FLAIR MR.
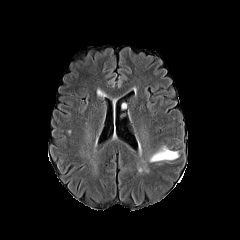
T1-weighted MRI.
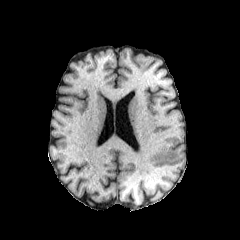
Post-contrast T1-weighted MR image.
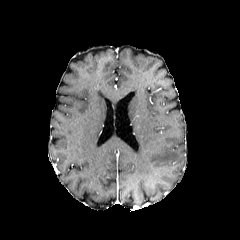
T2-weighted magnetic resonance.
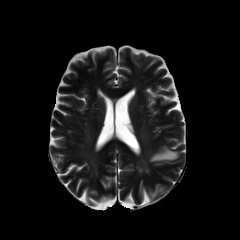
Head; 240x240
peritumoral_edema:
  - bbox(149, 145, 179, 162)